FLAIR magnetic resonance.
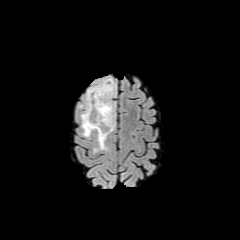
T1-weighted MRI.
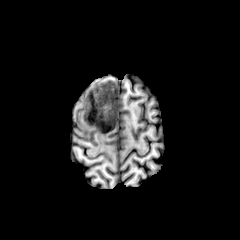
Post-contrast T1-weighted MRI.
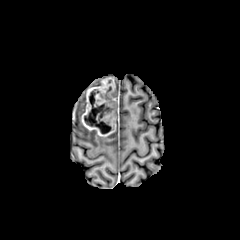
T2-weighted MRI.
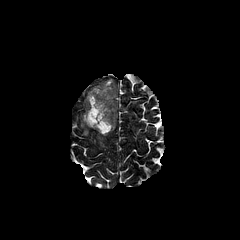
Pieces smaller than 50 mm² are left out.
{"enhancing_tumor": ["l=81, t=78, r=116, b=136"], "peritumoral_edema": ["l=94, t=134, r=107, b=151", "l=81, t=121, r=94, b=137"], "necrotic_tumor_core": ["l=84, t=89, r=111, b=133"]}